Slice 62 of 155, Brain
FLAIR MR image.
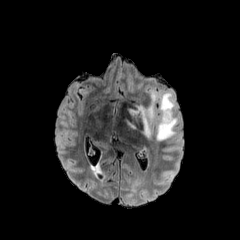
T1-weighted magnetic resonance.
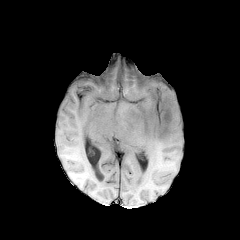
Post-contrast T1-weighted MRI.
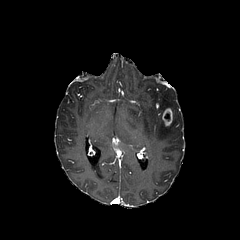
T2-weighted MRI.
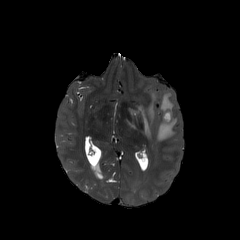
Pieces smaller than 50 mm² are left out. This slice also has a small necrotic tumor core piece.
The 2 largest peritumoral edema regions are located at [156,92,178,141], [128,90,157,139]. The enhancing tumor is bounded by [162,108,172,126].